FLAIR magnetic resonance.
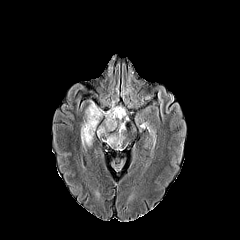
T1-weighted MRI.
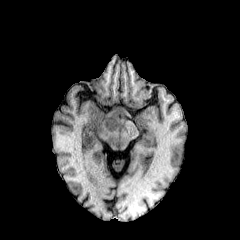
Post-contrast T1-weighted MRI.
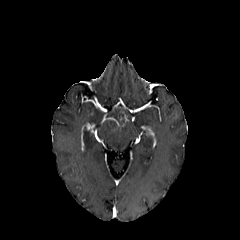
T2-weighted MR image.
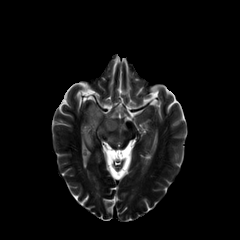
Brain | Axial view | 240x240 px
The necrotic tumor core is at 104, 120, 116, 129. 3 peritumoral edema regions appear at 82, 103, 104, 130; 83, 128, 93, 146; 97, 108, 125, 148.